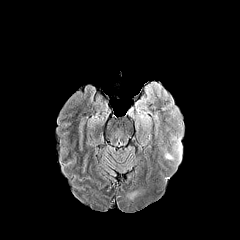
FLAIR magnetic resonance.
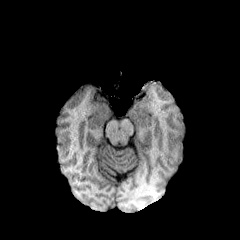
T1-weighted MR.
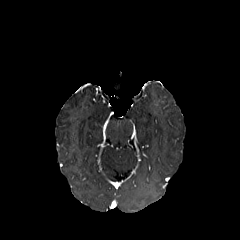
Post-contrast T1-weighted MR image of the same slice.
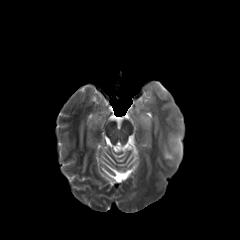
Same slice, T2-weighted MRI.
Head
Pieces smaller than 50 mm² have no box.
peritumoral_edema:
  - 130, 96, 151, 131
  - 171, 119, 183, 162
  - 146, 84, 152, 93
  - 164, 143, 174, 160